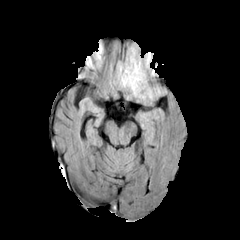
FLAIR MR.
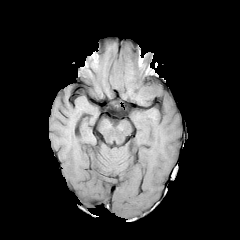
Same slice, T1-weighted magnetic resonance.
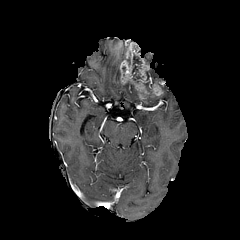
Post-contrast T1-weighted MR image.
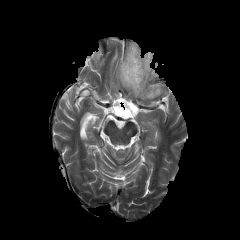
Same slice, T2-weighted MR image.
240x240, Head
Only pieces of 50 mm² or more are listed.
The largest enhancing tumor region appears at region(119, 42, 163, 99). The 3 largest peritumoral edema regions are bounded by region(144, 53, 152, 64); region(146, 68, 155, 80); region(117, 61, 138, 97). The largest necrotic tumor core region is bounded by region(132, 55, 141, 82).